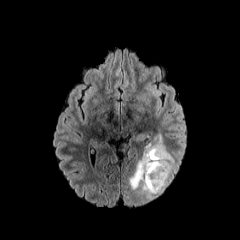
FLAIR MR image.
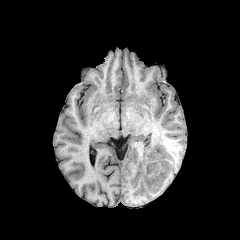
T1-weighted magnetic resonance.
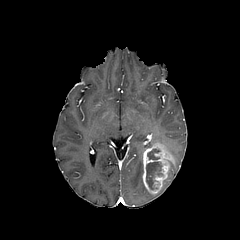
Post-contrast T1-weighted magnetic resonance of the same slice.
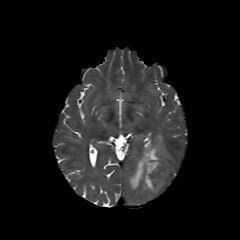
T2-weighted MRI.
240x240 | Axial view
<segmentation>
  <peritumoral_edema>[x1=144, y1=134, x2=163, y2=150], [x1=129, y1=155, x2=163, y2=199], [x1=166, y1=161, x2=177, y2=177]</peritumoral_edema>
  <enhancing_tumor>[x1=142, y1=143, x2=173, y2=193]</enhancing_tumor>
  <necrotic_tumor_core>[x1=146, y1=161, x2=163, y2=189], [x1=147, y1=148, x2=160, y2=159]</necrotic_tumor_core>
</segmentation>